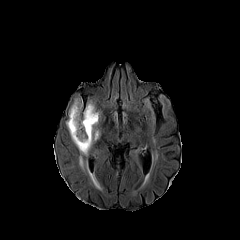
FLAIR MR.
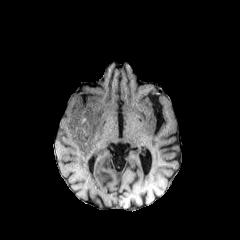
T1-weighted magnetic resonance.
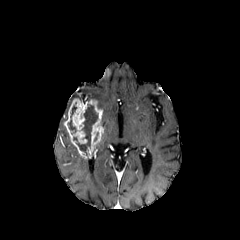
Post-contrast T1-weighted MR image.
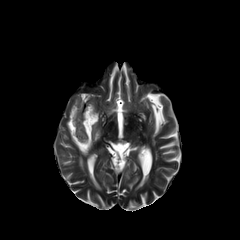
T2-weighted MRI of the same slice.
Brain, Axial view
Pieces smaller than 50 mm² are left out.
Findings:
* necrotic tumor core: bbox=[76, 104, 97, 155]; bbox=[68, 105, 76, 132]
* peritumoral edema: bbox=[86, 161, 100, 188]; bbox=[79, 156, 84, 169]
* enhancing tumor: bbox=[64, 98, 102, 158]